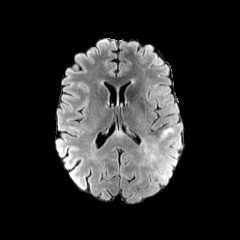
FLAIR MRI.
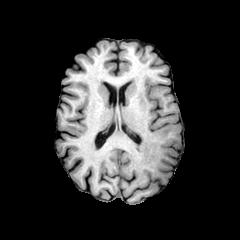
T1-weighted MR of the same slice.
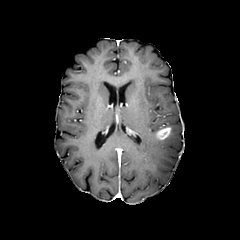
Post-contrast T1-weighted magnetic resonance.
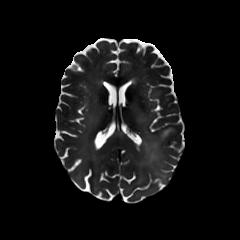
T2-weighted MR of the same slice.
Axial view, 240x240
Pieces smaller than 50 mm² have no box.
The largest peritumoral edema region is bounded by <bbox>143, 142, 166, 180</bbox>. The enhancing tumor lies within <bbox>156, 126, 171, 139</bbox>.